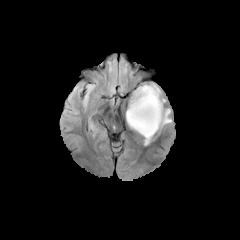
FLAIR MR image.
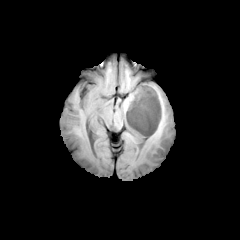
T1-weighted MRI.
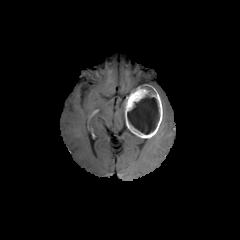
Same slice, post-contrast T1-weighted magnetic resonance.
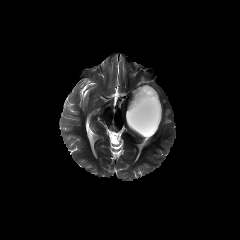
T2-weighted MR.
Image size 240x240; Axial view
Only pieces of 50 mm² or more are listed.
<segmentation>
  <necrotic_tumor_core>bbox(127, 95, 159, 134)</necrotic_tumor_core>
  <peritumoral_edema>bbox(160, 108, 171, 127)</peritumoral_edema>
  <enhancing_tumor>bbox(125, 85, 162, 138)</enhancing_tumor>
</segmentation>